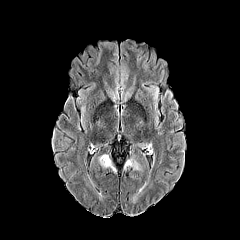
FLAIR MRI.
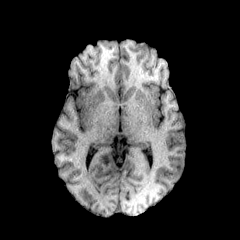
T1-weighted MR of the same slice.
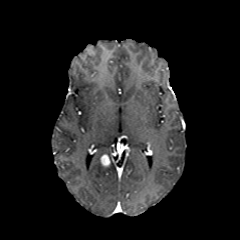
Post-contrast T1-weighted magnetic resonance.
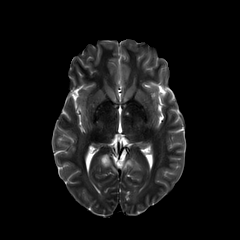
T2-weighted MRI.
Brain.
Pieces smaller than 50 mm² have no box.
Annotated regions:
* peritumoral edema: 124, 159, 139, 169
* enhancing tumor: 100, 154, 110, 166